Brain | Axial view | 240x240 | Slice 120 of 155
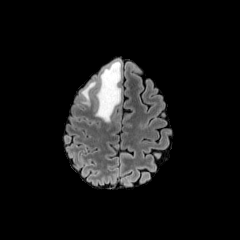
FLAIR magnetic resonance.
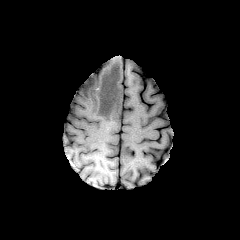
T1-weighted MR image.
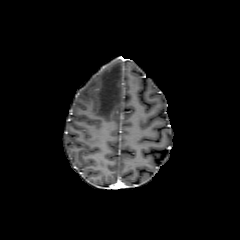
Post-contrast T1-weighted MRI.
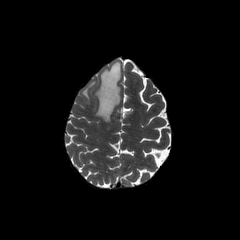
Same slice, T2-weighted MRI.
2 peritumoral edema regions are bounded by 94, 60, 121, 122; 81, 81, 96, 106.